Axial view | Brain
FLAIR MR.
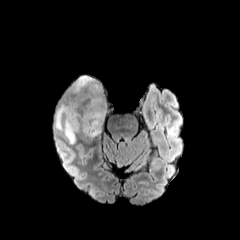
T1-weighted MR image.
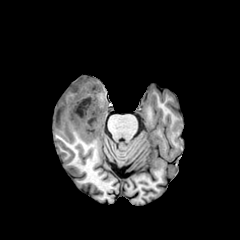
Post-contrast T1-weighted MR image.
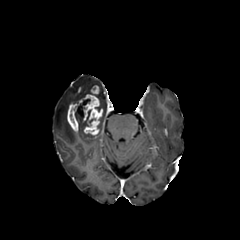
T2-weighted MRI.
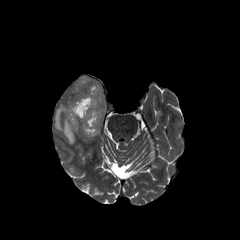
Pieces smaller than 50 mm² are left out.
necrotic_tumor_core:
  - 76:99:89:117
peritumoral_edema:
  - 72:76:106:135
  - 54:104:75:144
enhancing_tumor:
  - 67:85:102:135